Brain.
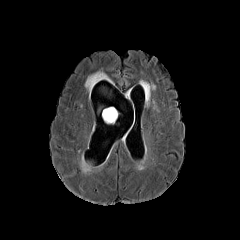
FLAIR MRI.
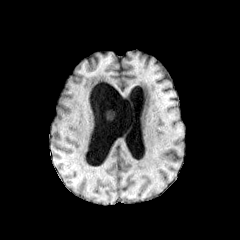
T1-weighted MR image of the same slice.
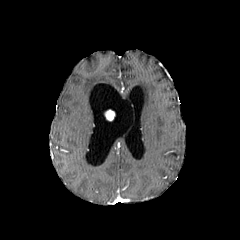
Same slice, post-contrast T1-weighted MRI.
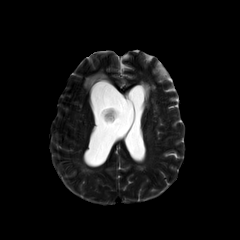
T2-weighted MR image.
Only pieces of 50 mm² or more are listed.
<segmentation>
  <enhancing_tumor>[104,109,115,121]</enhancing_tumor>
  <peritumoral_edema>[85,72,112,93]</peritumoral_edema>
</segmentation>